FLAIR magnetic resonance.
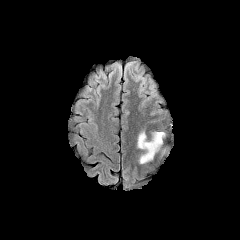
T1-weighted MR.
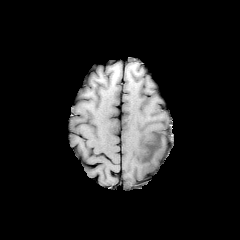
Post-contrast T1-weighted magnetic resonance.
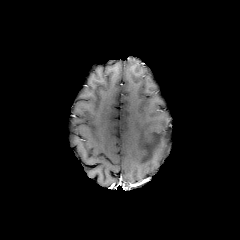
T2-weighted MR image.
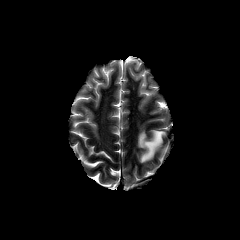
Axial plane. Brain.
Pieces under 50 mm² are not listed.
Segmented structures:
* peritumoral edema: bbox(137, 130, 165, 163)